Slice 94/155 | 240x240 px | Image width 240 mm
FLAIR MRI.
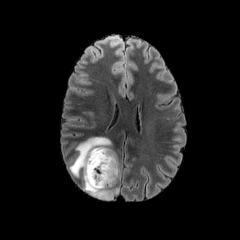
T1-weighted magnetic resonance.
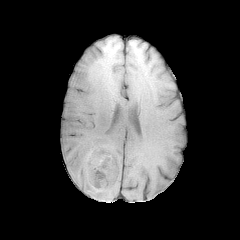
Post-contrast T1-weighted MR image.
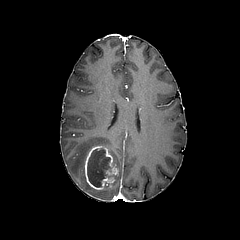
T2-weighted MR image.
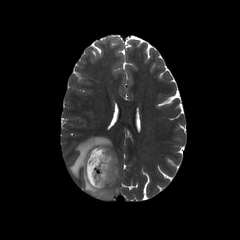
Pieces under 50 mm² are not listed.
<segmentation>
  <necrotic_tumor_core>rect(87, 148, 111, 187)</necrotic_tumor_core>
  <enhancing_tumor>rect(84, 146, 118, 190)</enhancing_tumor>
  <peritumoral_edema>rect(69, 137, 119, 200)</peritumoral_edema>
</segmentation>